FLAIR magnetic resonance.
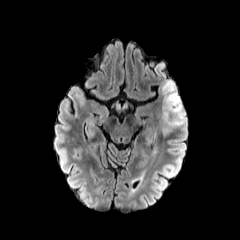
T1-weighted MR image.
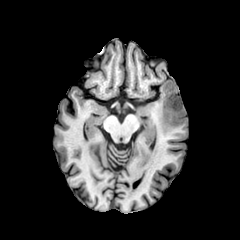
Post-contrast T1-weighted MR.
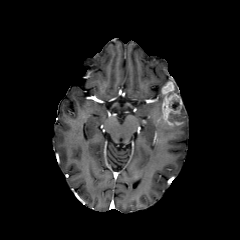
T2-weighted MRI.
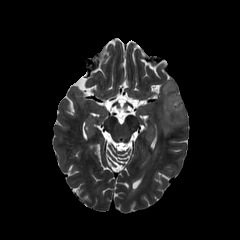
Head | Axial view
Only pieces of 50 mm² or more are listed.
{
  "enhancing_tumor": [
    "(x1=161, y1=81, x2=182, y2=126)"
  ],
  "peritumoral_edema": [
    "(x1=158, y1=103, x2=186, y2=134)"
  ],
  "necrotic_tumor_core": [
    "(x1=172, y1=101, x2=179, y2=109)"
  ]
}